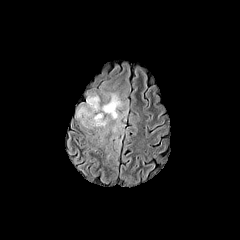
FLAIR MRI.
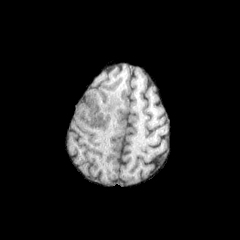
Same slice, T1-weighted magnetic resonance.
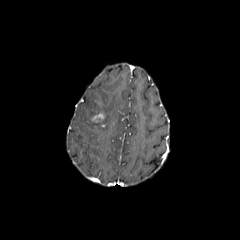
Post-contrast T1-weighted MR image.
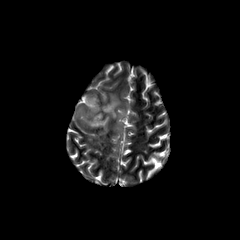
Same slice, T2-weighted magnetic resonance.
Head | 240x240
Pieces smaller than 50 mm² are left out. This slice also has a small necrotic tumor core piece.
enhancing tumor: l=90, t=112, r=104, b=126
peritumoral edema: l=76, t=93, r=124, b=133